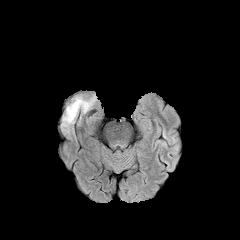
FLAIR MR.
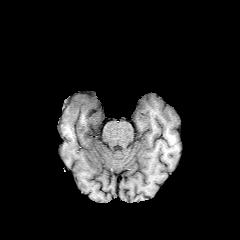
Same slice, T1-weighted MR image.
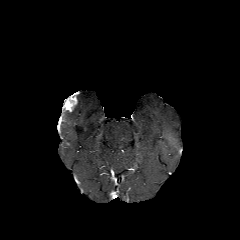
Post-contrast T1-weighted MRI of the same slice.
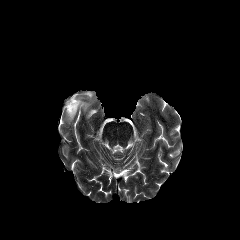
Same slice, T2-weighted MR image.
Annotated regions:
* enhancing tumor: [63, 94, 77, 111]
* peritumoral edema: [61, 94, 96, 126]